Slice 90/155, Brain
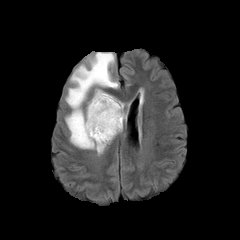
FLAIR MR.
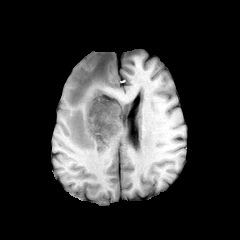
Same slice, T1-weighted MR image.
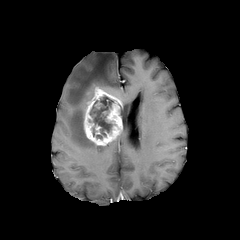
Post-contrast T1-weighted MRI.
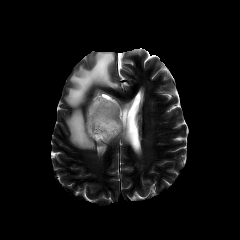
T2-weighted MR image.
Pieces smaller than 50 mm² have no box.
The peritumoral edema is bounded by rect(65, 52, 118, 149). The largest necrotic tumor core region is located at rect(89, 98, 112, 136). The enhancing tumor lies within rect(84, 87, 122, 145).